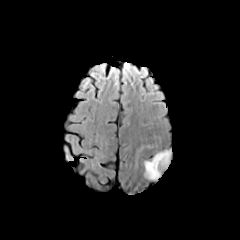
FLAIR MR image.
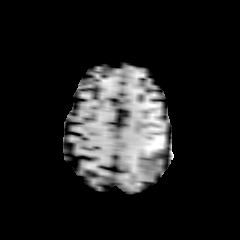
T1-weighted MR.
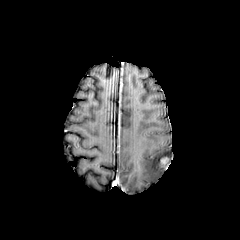
Post-contrast T1-weighted MRI.
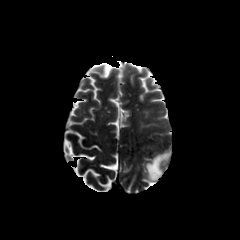
T2-weighted MR.
Axial view
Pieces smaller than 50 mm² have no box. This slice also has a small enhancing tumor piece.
peritumoral_edema:
  - l=145, t=150, r=171, b=180